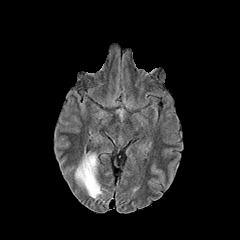
FLAIR MRI.
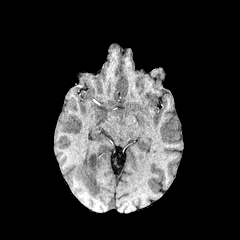
Same slice, T1-weighted magnetic resonance.
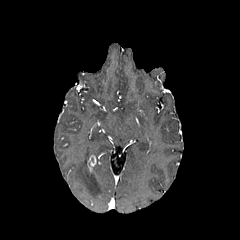
Same slice, post-contrast T1-weighted MR.
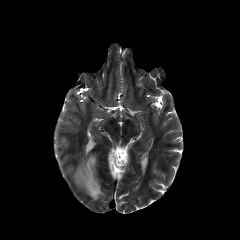
T2-weighted magnetic resonance.
Head.
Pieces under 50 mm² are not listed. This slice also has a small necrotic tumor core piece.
enhancing tumor — 87 155 96 172
peritumoral edema — 74 153 103 199